Image width 240 mm, Axial plane, Slice 90/155, Head
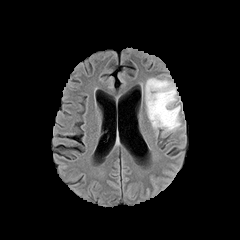
FLAIR MR image.
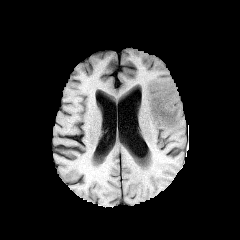
T1-weighted magnetic resonance of the same slice.
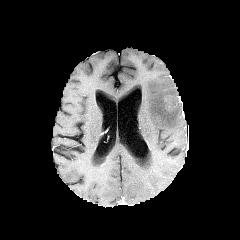
Post-contrast T1-weighted MRI.
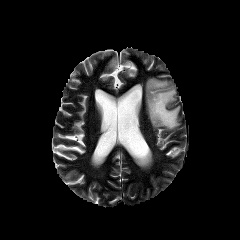
T2-weighted MR image.
The peritumoral edema is bounded by 145:78:180:133.